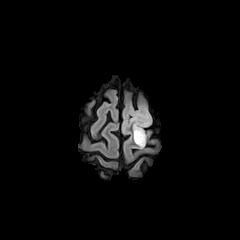
FLAIR MR image.
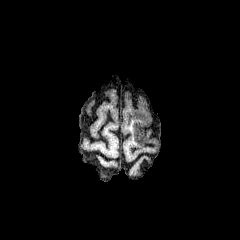
T1-weighted MR image.
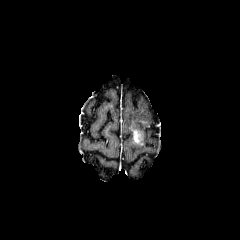
Post-contrast T1-weighted MR.
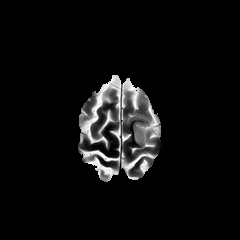
Same slice, T2-weighted magnetic resonance.
Image size 240x240, Head
The peritumoral edema appears at [129, 108, 151, 148]. The enhancing tumor lies within [134, 129, 143, 145].